Axial plane, Slice 101/155, Image width 240 mm
FLAIR magnetic resonance.
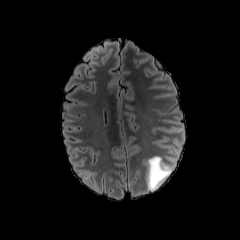
T1-weighted MR.
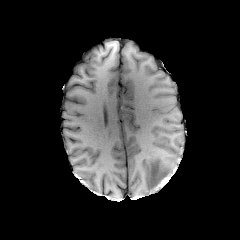
Post-contrast T1-weighted magnetic resonance.
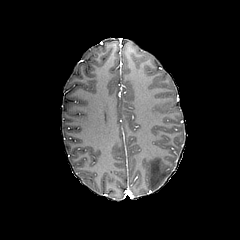
T2-weighted MR.
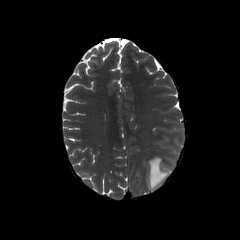
The peritumoral edema lies within 145, 155, 173, 190.